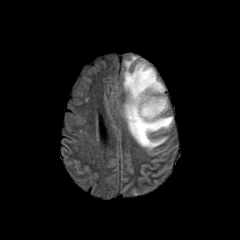
FLAIR MR image.
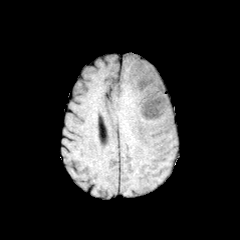
Same slice, T1-weighted magnetic resonance.
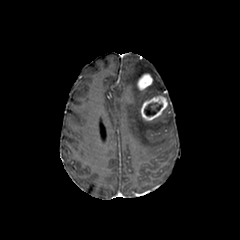
Post-contrast T1-weighted magnetic resonance of the same slice.
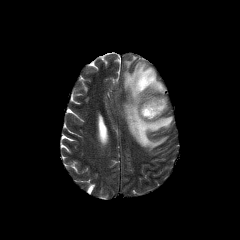
T2-weighted MR of the same slice.
Axial view, Image size 240x240, Head
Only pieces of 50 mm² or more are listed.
<segmentation>
  <peritumoral_edema>x1=123 y1=56 x2=172 y2=150</peritumoral_edema>
  <enhancing_tumor>x1=137 y1=73 x2=152 y2=90, x1=140 y1=95 x2=167 y2=120</enhancing_tumor>
  <necrotic_tumor_core>x1=144 y1=103 x2=162 y2=115</necrotic_tumor_core>
</segmentation>